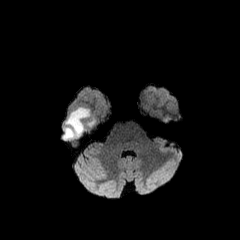
FLAIR MR image.
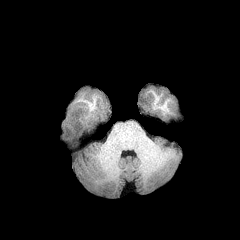
Same slice, T1-weighted MR.
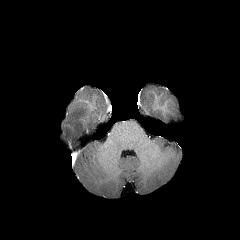
Post-contrast T1-weighted MR image of the same slice.
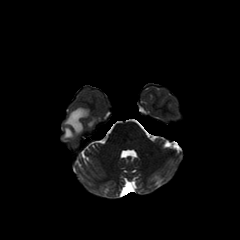
Same slice, T2-weighted MRI.
Axial plane. Brain. 240x240 px.
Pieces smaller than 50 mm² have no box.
- peritumoral edema: (x1=64, y1=108, x2=88, y2=138)